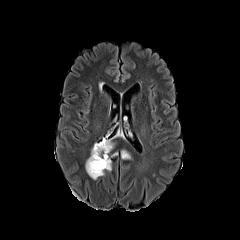
FLAIR MRI.
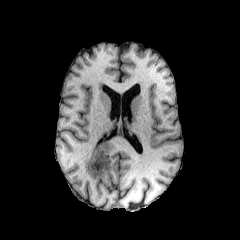
T1-weighted MR image of the same slice.
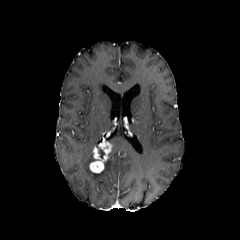
Same slice, post-contrast T1-weighted MR.
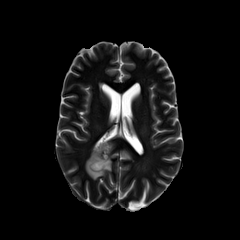
T2-weighted MR image.
Axial view, Head
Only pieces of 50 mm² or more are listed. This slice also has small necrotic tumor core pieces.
enhancing tumor — 89 139 112 173
peritumoral edema — 121 150 130 159, 85 146 111 179